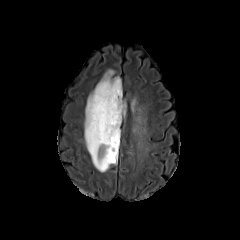
FLAIR magnetic resonance.
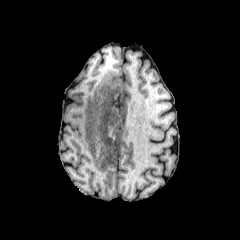
T1-weighted magnetic resonance.
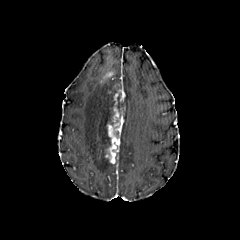
Post-contrast T1-weighted MRI.
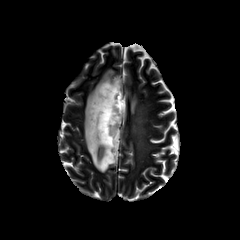
T2-weighted magnetic resonance.
Axial plane | Brain
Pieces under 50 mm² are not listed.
* enhancing tumor: box=[105, 84, 125, 163]; box=[101, 70, 114, 82]
* peritumoral edema: box=[84, 76, 121, 172]; box=[131, 99, 136, 112]
* necrotic tumor core: box=[117, 95, 123, 110]